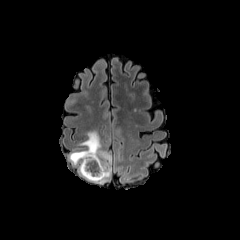
FLAIR magnetic resonance.
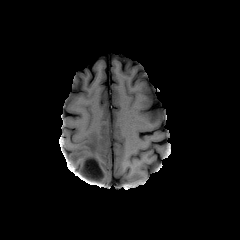
T1-weighted MRI.
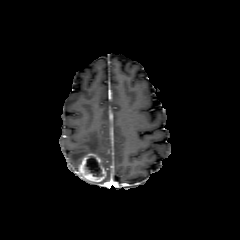
Post-contrast T1-weighted magnetic resonance.
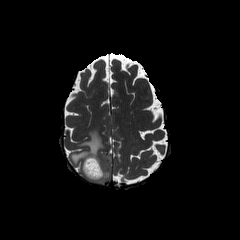
T2-weighted MRI of the same slice.
* enhancing tumor: (78,153,106,182)
* peritumoral edema: (70,131,111,183)
* necrotic tumor core: (85,156,102,176)